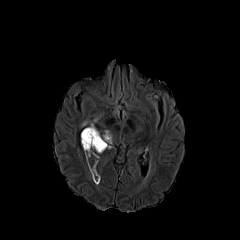
FLAIR MR.
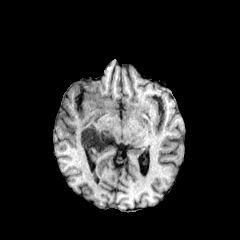
T1-weighted MRI.
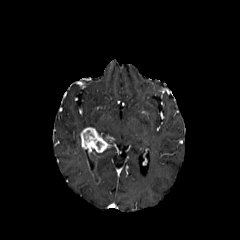
Same slice, post-contrast T1-weighted MRI.
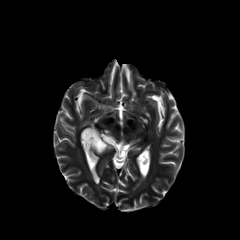
T2-weighted MR image.
240x240 px
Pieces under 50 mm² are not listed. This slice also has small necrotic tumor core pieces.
The 2 largest peritumoral edema regions are bounded by left=81, top=118, right=97, bottom=127; left=103, top=130, right=111, bottom=143. The largest enhancing tumor region is bounded by left=80, top=127, right=110, bottom=184.